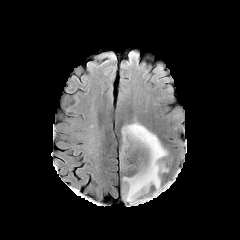
FLAIR magnetic resonance.
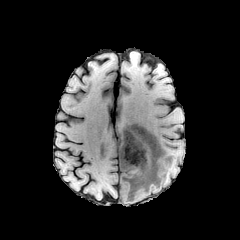
T1-weighted MR image.
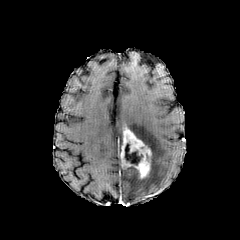
Post-contrast T1-weighted MR of the same slice.
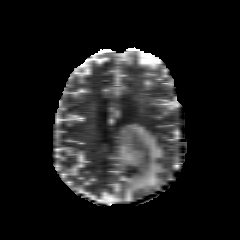
T2-weighted magnetic resonance.
240x240 px
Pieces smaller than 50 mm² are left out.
enhancing_tumor:
  - x1=120, y1=127, x2=151, y2=178
peritumoral_edema:
  - x1=122, y1=123, x2=167, y2=202
necrotic_tumor_core:
  - x1=125, y1=144, x2=142, y2=164